Axial slice
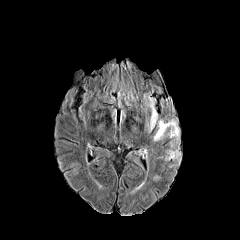
FLAIR MRI.
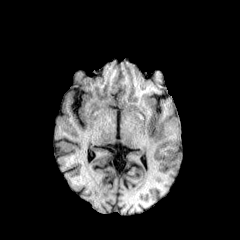
Same slice, T1-weighted MRI.
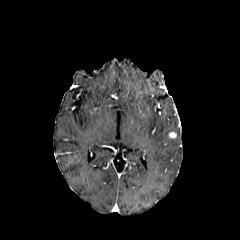
Post-contrast T1-weighted MR of the same slice.
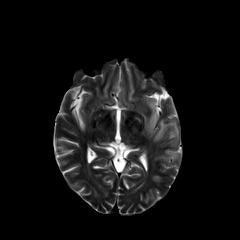
T2-weighted magnetic resonance.
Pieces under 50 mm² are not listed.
The enhancing tumor lies within x1=168, y1=131, x2=176, y2=138. The 3 largest peritumoral edema regions appear at x1=146, y1=103, x2=157, y2=131; x1=166, y1=149, x2=181, y2=162; x1=154, y1=119, x2=179, y2=141.